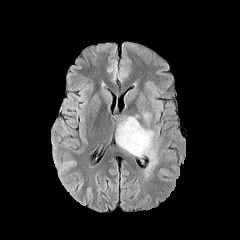
FLAIR magnetic resonance.
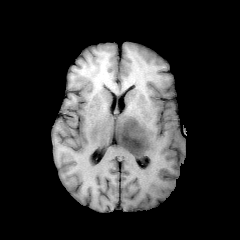
T1-weighted MR image of the same slice.
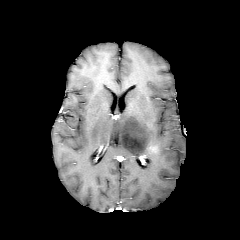
Same slice, post-contrast T1-weighted magnetic resonance.
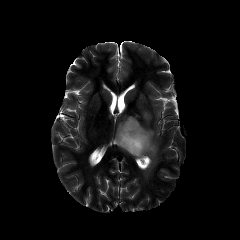
T2-weighted magnetic resonance.
Brain | Axial slice
{"enhancing_tumor": ["bbox=[147, 144, 157, 152]"], "peritumoral_edema": ["bbox=[115, 115, 158, 175]", "bbox=[143, 112, 150, 121]"]}